FLAIR magnetic resonance.
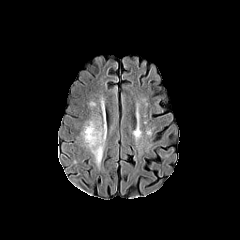
T1-weighted MR image.
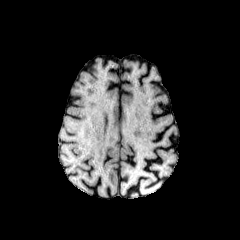
Post-contrast T1-weighted magnetic resonance.
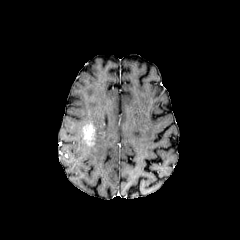
T2-weighted MR.
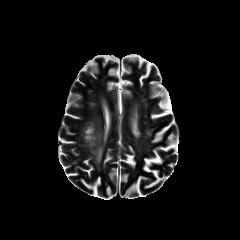
Brain.
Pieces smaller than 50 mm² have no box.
enhancing tumor: x1=83 y1=123 x2=94 y2=146
peritumoral edema: x1=85 y1=123 x2=104 y2=165